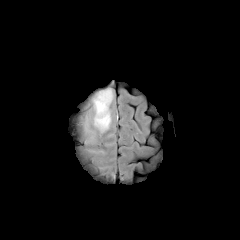
FLAIR magnetic resonance.
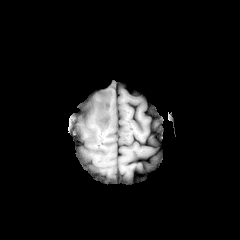
Same slice, T1-weighted MRI.
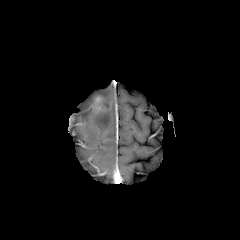
Post-contrast T1-weighted magnetic resonance.
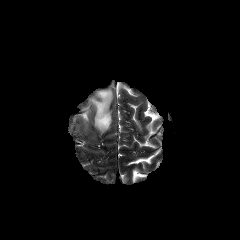
T2-weighted magnetic resonance.
Brain
enhancing tumor: box=[95, 96, 104, 110]
peritumoral edema: box=[71, 84, 116, 132]